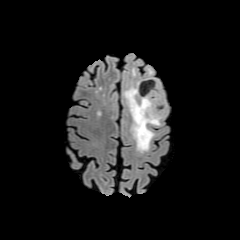
FLAIR magnetic resonance.
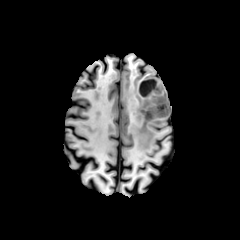
T1-weighted MRI.
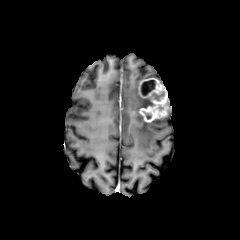
Post-contrast T1-weighted MR.
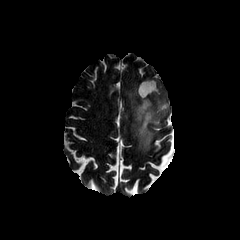
T2-weighted MR image.
Axial slice
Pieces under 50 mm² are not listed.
peritumoral edema: l=124, t=81, r=161, b=152 | necrotic tumor core: l=141, t=80, r=155, b=94 | enhancing tumor: l=139, t=78, r=169, b=122